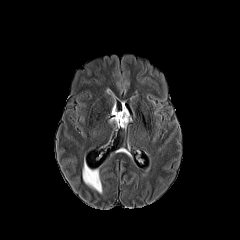
FLAIR MR.
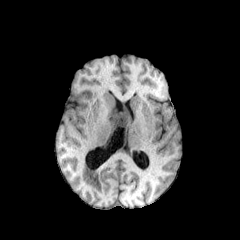
T1-weighted MR image.
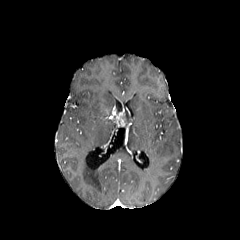
Post-contrast T1-weighted MRI.
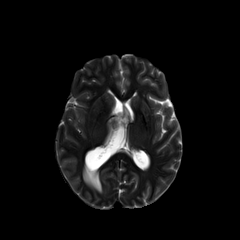
T2-weighted MRI.
Brain
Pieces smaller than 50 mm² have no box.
Findings:
- peritumoral edema: box(124, 107, 129, 126)
- enhancing tumor: box(112, 106, 125, 126)